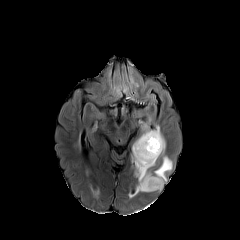
FLAIR MR image.
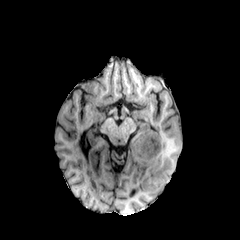
T1-weighted MR.
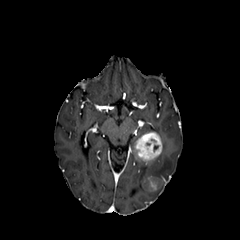
Post-contrast T1-weighted MRI of the same slice.
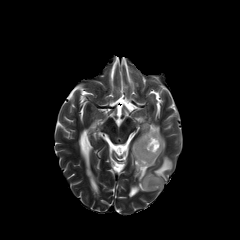
T2-weighted MR.
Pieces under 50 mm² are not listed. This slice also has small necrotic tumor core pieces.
<segmentation>
  <peritumoral_edema>[143,124,165,154], [132,144,172,191]</peritumoral_edema>
  <enhancing_tumor>[144,176,162,190], [134,131,162,164]</enhancing_tumor>
</segmentation>